Slice index 96. Image covers 240 mm x 240 mm.
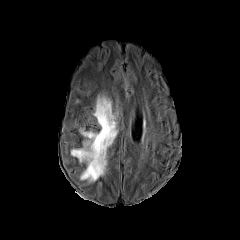
FLAIR MRI.
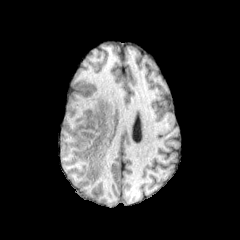
T1-weighted MRI.
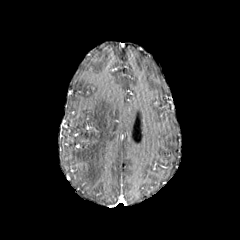
Post-contrast T1-weighted magnetic resonance.
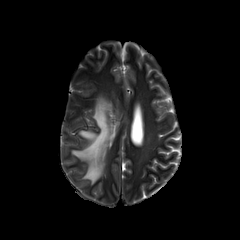
T2-weighted MR image.
peritumoral_edema:
  - {"x1": 71, "y1": 96, "x2": 117, "y2": 182}